Head. Axial slice. Image width 240 mm.
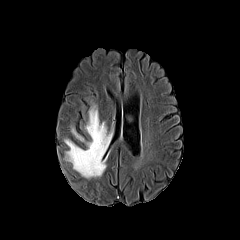
FLAIR MRI.
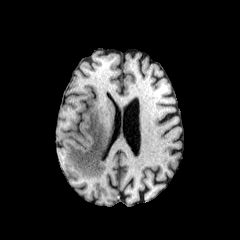
Same slice, T1-weighted MR image.
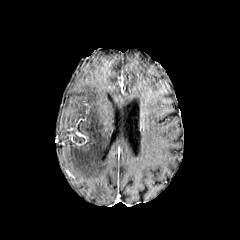
Post-contrast T1-weighted MRI.
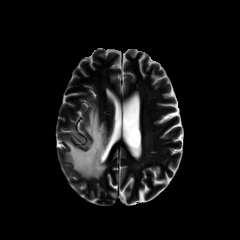
T2-weighted MRI of the same slice.
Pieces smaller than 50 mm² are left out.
The largest peritumoral edema region is at 65,104,106,178.